FLAIR magnetic resonance.
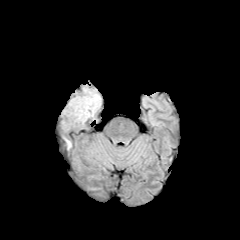
T1-weighted magnetic resonance.
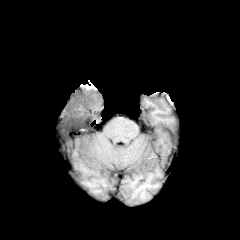
Post-contrast T1-weighted magnetic resonance.
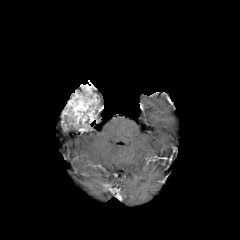
T2-weighted MRI.
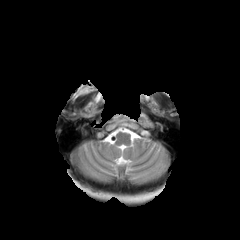
Head; Axial slice; Image size 240x240
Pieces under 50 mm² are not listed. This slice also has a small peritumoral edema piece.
The enhancing tumor is at rect(61, 85, 100, 131).